Slice 103 of 155; 240x240 px; Axial plane; Head
FLAIR MR image.
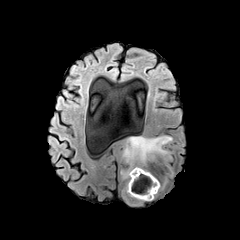
T1-weighted magnetic resonance.
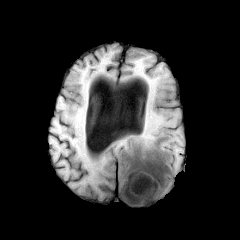
Post-contrast T1-weighted MR.
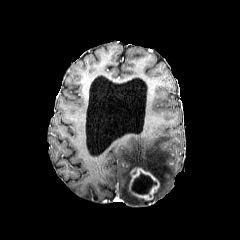
T2-weighted MR.
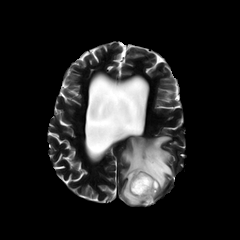
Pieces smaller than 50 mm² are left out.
Findings:
• peritumoral edema: {"x1": 120, "y1": 135, "x2": 173, "y2": 205}
• enhancing tumor: {"x1": 129, "y1": 167, "x2": 159, "y2": 200}
• necrotic tumor core: {"x1": 131, "y1": 173, "x2": 156, "y2": 194}